Slice index 110
FLAIR MR image.
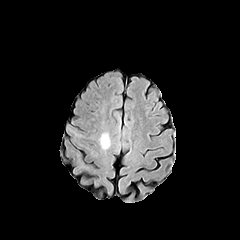
T1-weighted MRI.
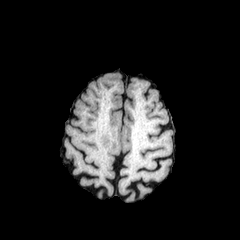
Post-contrast T1-weighted MR.
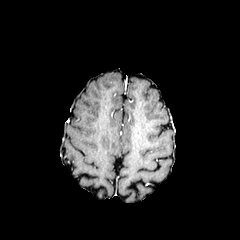
T2-weighted magnetic resonance.
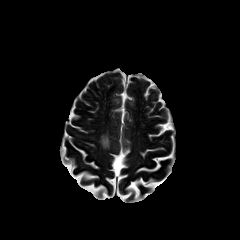
peritumoral edema: (99,132,110,150)